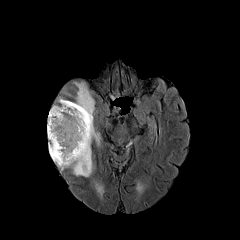
FLAIR MRI.
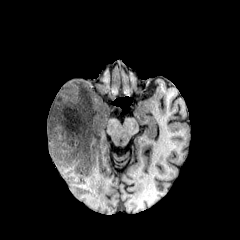
T1-weighted MR image.
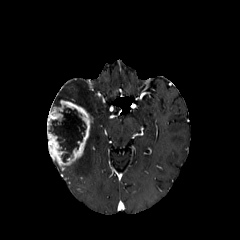
Post-contrast T1-weighted MR.
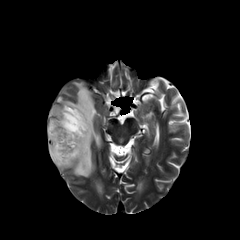
Same slice, T2-weighted magnetic resonance.
240x240, Head
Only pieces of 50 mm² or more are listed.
<segmentation>
  <peritumoral_edema>rect(65, 123, 100, 177); rect(74, 82, 95, 117); rect(95, 182, 103, 195)</peritumoral_edema>
  <necrotic_tumor_core>rect(49, 107, 86, 162)</necrotic_tumor_core>
  <enhancing_tumor>rect(47, 100, 93, 168)</enhancing_tumor>
</segmentation>